Axial slice.
FLAIR MRI.
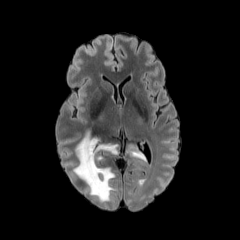
T1-weighted MR image.
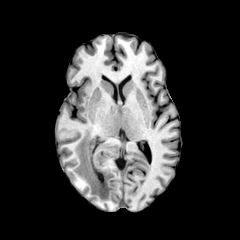
Post-contrast T1-weighted MR.
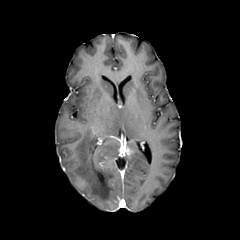
T2-weighted MR.
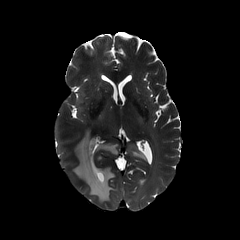
peritumoral edema — <bbox>73, 131, 119, 202</bbox>, <bbox>127, 145, 145, 160</bbox>
enhancing tumor — <bbox>120, 147, 132, 155</bbox>